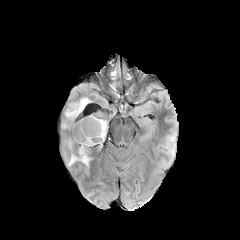
FLAIR magnetic resonance.
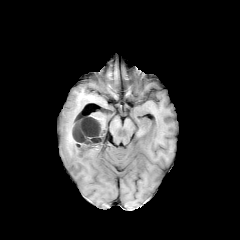
T1-weighted MR image.
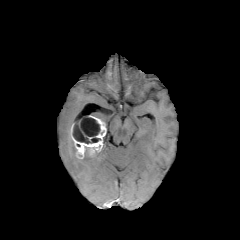
Post-contrast T1-weighted magnetic resonance of the same slice.
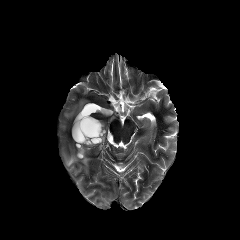
T2-weighted MRI of the same slice.
Axial plane
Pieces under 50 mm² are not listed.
<segmentation>
  <enhancing_tumor>box=[71, 114, 106, 158]</enhancing_tumor>
  <peritumoral_edema>box=[66, 142, 94, 175]; box=[65, 98, 88, 119]</peritumoral_edema>
  <necrotic_tumor_core>box=[80, 118, 100, 136]; box=[72, 124, 89, 143]</necrotic_tumor_core>
</segmentation>